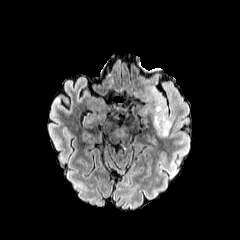
FLAIR MR.
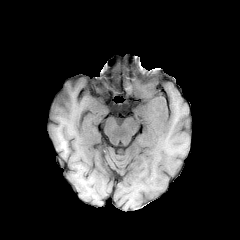
T1-weighted magnetic resonance of the same slice.
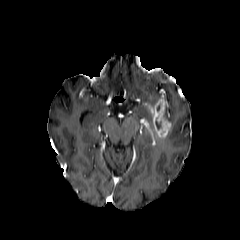
Same slice, post-contrast T1-weighted magnetic resonance.
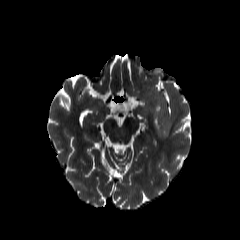
Same slice, T2-weighted MRI.
Head, Axial slice, 240x240 px
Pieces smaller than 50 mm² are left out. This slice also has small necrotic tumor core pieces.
<segmentation>
  <peritumoral_edema>147 87 162 104</peritumoral_edema>
  <enhancing_tumor>145 96 171 138</enhancing_tumor>
</segmentation>